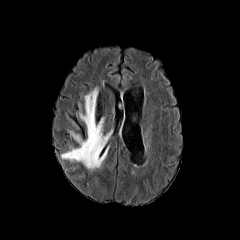
FLAIR MR.
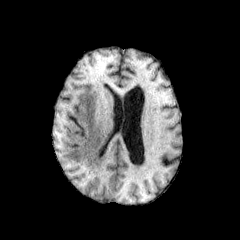
T1-weighted magnetic resonance.
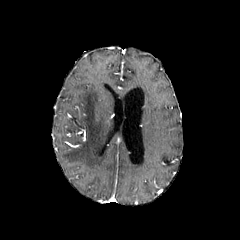
Same slice, post-contrast T1-weighted MR image.
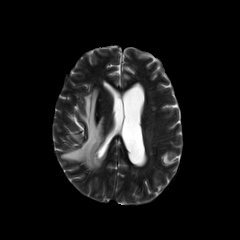
T2-weighted MRI.
240x240
The peritumoral edema lies within bbox(61, 88, 109, 169).